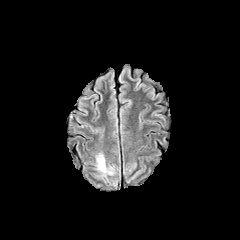
FLAIR MR.
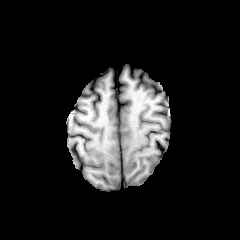
T1-weighted MRI.
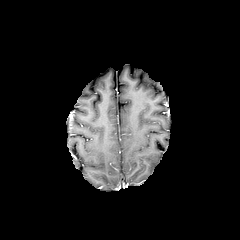
Post-contrast T1-weighted MR.
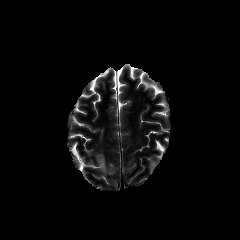
T2-weighted MR image.
Image size 240x240, Brain
Findings:
- peritumoral edema: (97, 155, 111, 173)